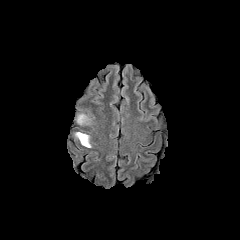
FLAIR MRI.
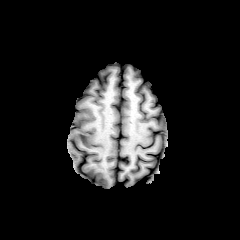
T1-weighted MR of the same slice.
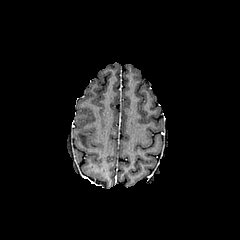
Post-contrast T1-weighted magnetic resonance.
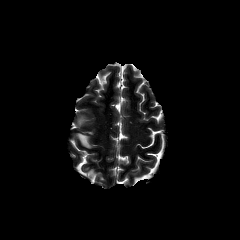
T2-weighted MRI.
Axial view; 240x240
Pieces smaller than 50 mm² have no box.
peritumoral edema: region(76, 132, 90, 147)